240x240 px. Axial view.
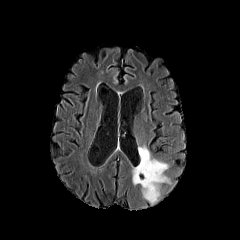
FLAIR magnetic resonance.
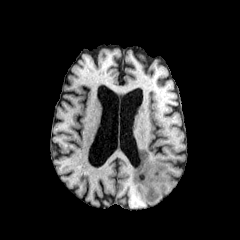
T1-weighted magnetic resonance.
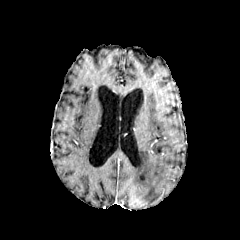
Same slice, post-contrast T1-weighted MR image.
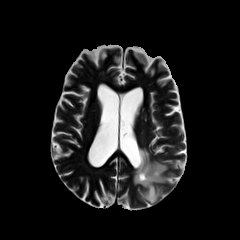
Same slice, T2-weighted MR image.
The peritumoral edema lies within (left=133, top=146, right=168, bottom=203).